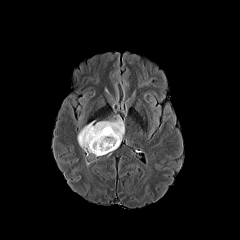
FLAIR MR image.
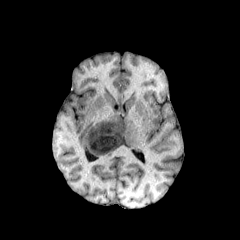
T1-weighted magnetic resonance of the same slice.
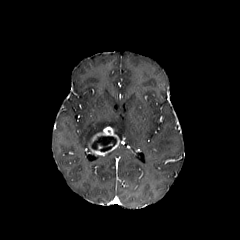
Post-contrast T1-weighted MRI of the same slice.
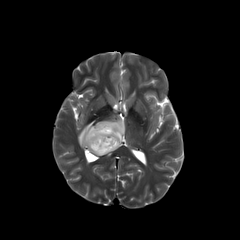
T2-weighted MRI of the same slice.
240x240 px
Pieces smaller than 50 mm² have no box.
<segmentation>
  <peritumoral_edema>{"x1": 77, "y1": 116, "x2": 124, "y2": 151}</peritumoral_edema>
  <enhancing_tumor>{"x1": 88, "y1": 126, "x2": 120, "y2": 155}</enhancing_tumor>
  <necrotic_tumor_core>{"x1": 91, "y1": 136, "x2": 116, "y2": 151}</necrotic_tumor_core>
</segmentation>